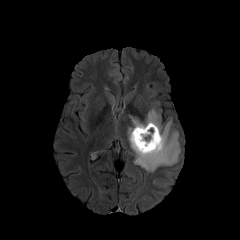
FLAIR magnetic resonance.
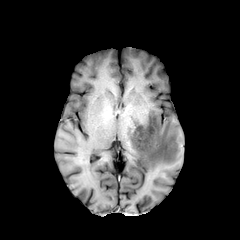
T1-weighted MR.
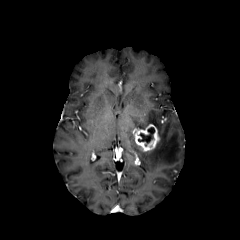
Post-contrast T1-weighted MRI.
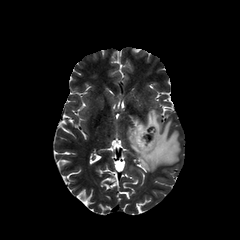
T2-weighted magnetic resonance of the same slice.
Image size 240x240, Brain
The necrotic tumor core is located at [138,127,154,143]. The enhancing tumor is bounded by [132,124,159,151]. The peritumoral edema is at [127,109,180,171].